FLAIR magnetic resonance.
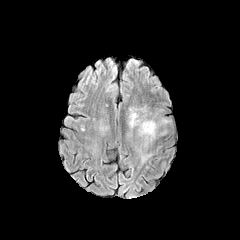
T1-weighted MR.
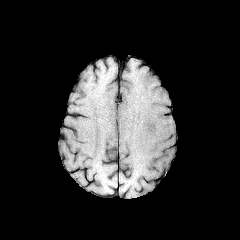
Post-contrast T1-weighted MR.
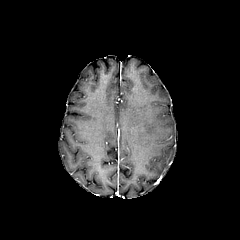
T2-weighted MRI.
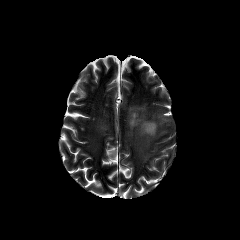
peritumoral_edema:
  - <box>129,107,157,146</box>